FLAIR magnetic resonance.
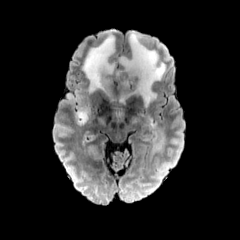
T1-weighted MR image.
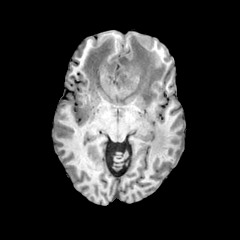
Post-contrast T1-weighted magnetic resonance.
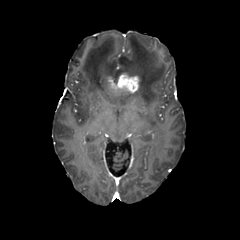
T2-weighted MR.
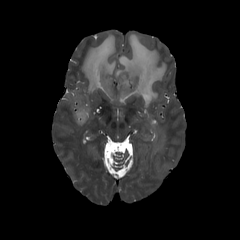
Image size 240x240, Axial plane
The enhancing tumor is at 107, 73, 139, 93. 5 peritumoral edema regions are located at 69, 90, 87, 124; 82, 33, 115, 95; 143, 119, 166, 160; 119, 92, 133, 102; 116, 32, 166, 105.